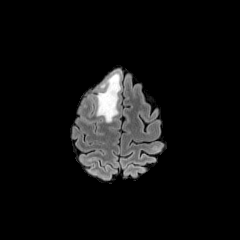
FLAIR MR.
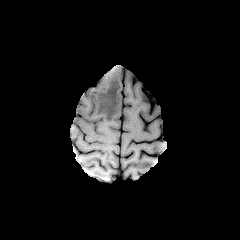
T1-weighted MRI.
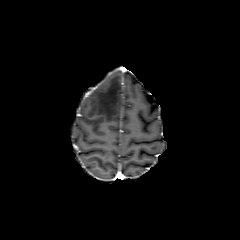
Post-contrast T1-weighted MR image of the same slice.
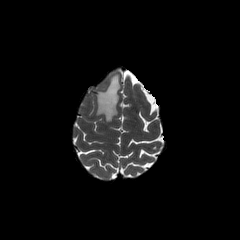
T2-weighted MR image.
240x240 px. Axial slice. Brain.
peritumoral edema at left=95, top=71, right=121, bottom=122